FLAIR MR.
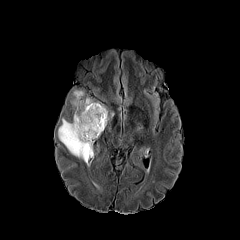
T1-weighted magnetic resonance.
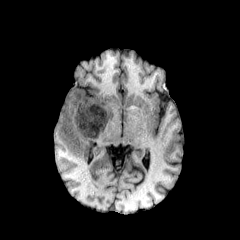
Post-contrast T1-weighted MR.
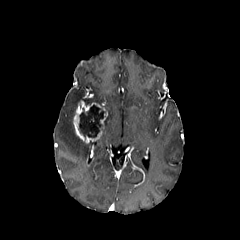
T2-weighted MR image.
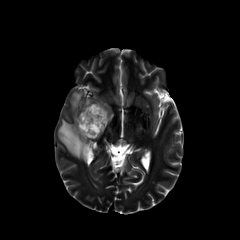
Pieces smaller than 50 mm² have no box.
enhancing tumor: bounding box (73,102,107,143)
peritumoral edema: bounding box (58,118,91,162), (71,90,84,116)
necrotic tumor core: bounding box (78,105,105,139)